240x240 px. Slice 72 of 155. Brain.
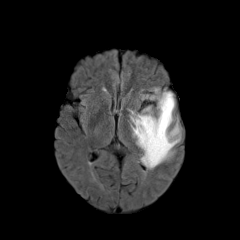
FLAIR MR.
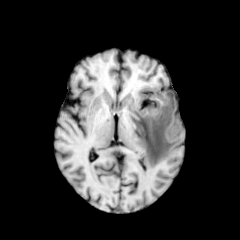
T1-weighted magnetic resonance.
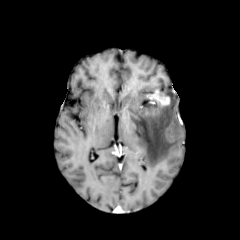
Post-contrast T1-weighted MRI.
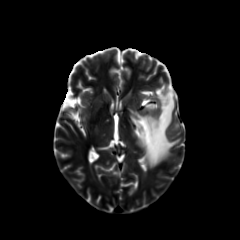
T2-weighted magnetic resonance of the same slice.
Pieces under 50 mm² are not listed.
peritumoral edema: rect(131, 92, 179, 166) | enhancing tumor: rect(144, 88, 169, 117)